Axial view; Image size 240x240; Slice 81 of 155
FLAIR MRI.
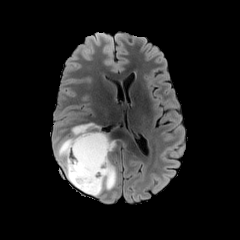
T1-weighted MRI.
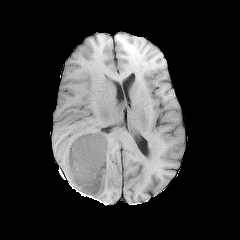
Post-contrast T1-weighted MRI.
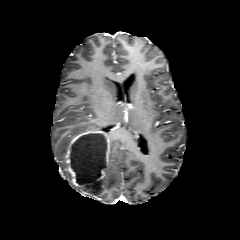
T2-weighted magnetic resonance.
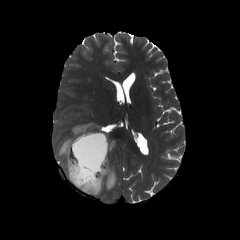
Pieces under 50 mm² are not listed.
necrotic tumor core: {"x1": 70, "y1": 134, "x2": 107, "y2": 194}
enhancing tumor: {"x1": 97, "y1": 138, "x2": 109, "y2": 181}, {"x1": 66, "y1": 131, "x2": 107, "y2": 191}
peritumoral edema: {"x1": 56, "y1": 122, "x2": 98, "y2": 181}, {"x1": 96, "y1": 160, "x2": 116, "y2": 195}